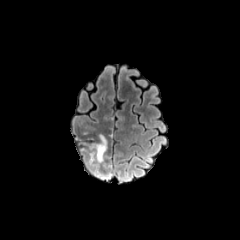
FLAIR MRI.
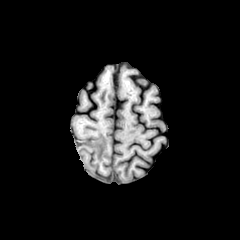
T1-weighted MR of the same slice.
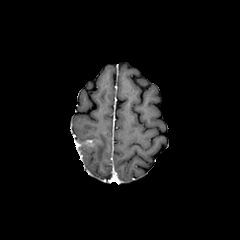
Post-contrast T1-weighted MR image of the same slice.
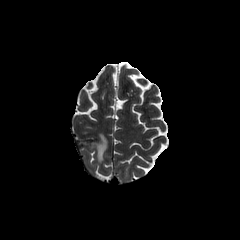
T2-weighted magnetic resonance.
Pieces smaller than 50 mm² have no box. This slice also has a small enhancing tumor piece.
peritumoral edema — <bbox>90, 135, 106, 162</bbox>